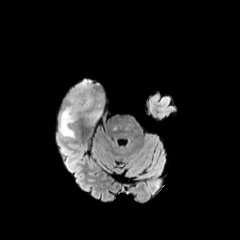
FLAIR MR image.
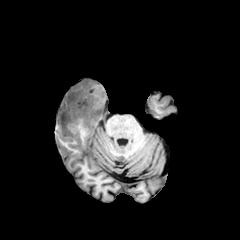
T1-weighted MRI.
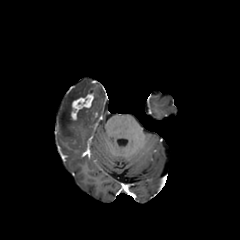
Post-contrast T1-weighted MR.
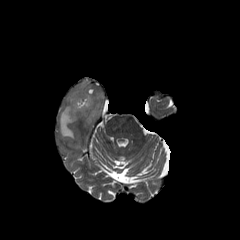
Same slice, T2-weighted MR image.
240x240 px
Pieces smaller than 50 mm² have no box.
Annotated regions:
* peritumoral edema: rect(59, 80, 104, 138)
* enhancing tumor: rect(71, 89, 94, 120)